240x240, Slice index 57, Head, Axial slice
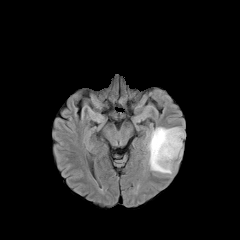
FLAIR MRI.
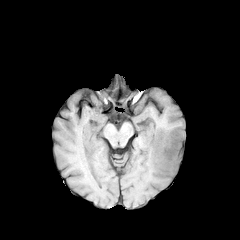
Same slice, T1-weighted MR image.
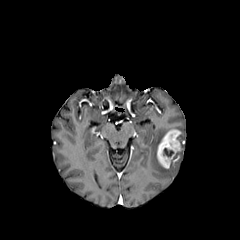
Post-contrast T1-weighted MR image.
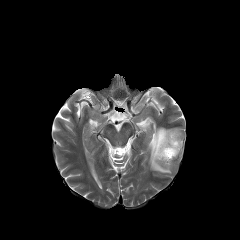
T2-weighted magnetic resonance.
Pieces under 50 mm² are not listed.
Segmented structures:
- peritumoral edema: {"x1": 147, "y1": 127, "x2": 183, "y2": 173}
- enhancing tumor: {"x1": 156, "y1": 129, "x2": 181, "y2": 168}
- necrotic tumor core: {"x1": 164, "y1": 148, "x2": 173, "y2": 156}